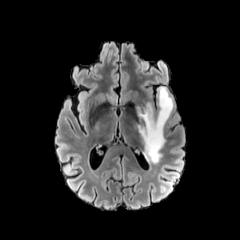
FLAIR MR.
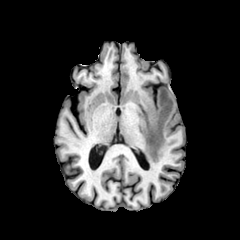
T1-weighted MR.
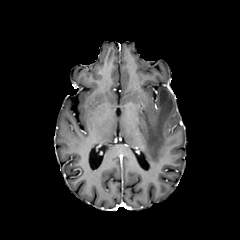
Same slice, post-contrast T1-weighted MR.
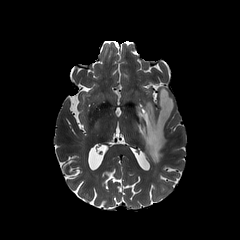
T2-weighted MR image of the same slice.
240x240 px.
Findings:
* peritumoral edema: <box>136,87,174,163</box>